FLAIR MR.
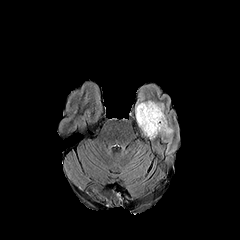
T1-weighted MR.
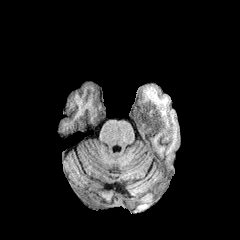
Post-contrast T1-weighted MRI.
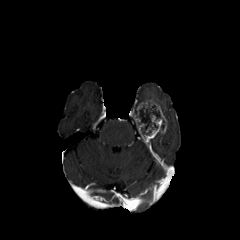
T2-weighted magnetic resonance.
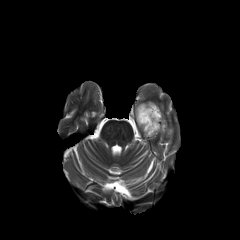
Head | 240x240 px | Axial slice
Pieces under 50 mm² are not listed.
Segmented structures:
- necrotic tumor core: {"x1": 139, "y1": 102, "x2": 162, "y2": 135}
- peritumoral edema: {"x1": 165, "y1": 127, "x2": 173, "y2": 136}
- enhancing tumor: {"x1": 136, "y1": 101, "x2": 166, "y2": 138}